FLAIR MR image.
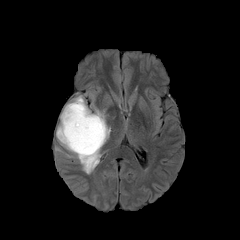
T1-weighted MRI.
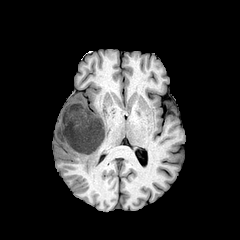
Post-contrast T1-weighted MR image.
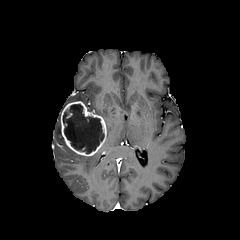
T2-weighted MRI.
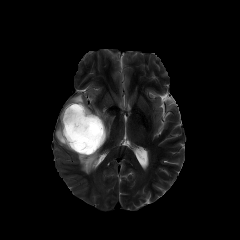
Axial view | Head | 240x240
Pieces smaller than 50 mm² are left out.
necrotic_tumor_core:
  - left=63, top=104, right=104, bottom=153
enhancing_tumor:
  - left=60, top=101, right=106, bottom=156
peritumoral_edema:
  - left=69, top=95, right=85, bottom=104
  - left=56, top=116, right=100, bottom=173
  - left=95, top=109, right=105, bottom=122